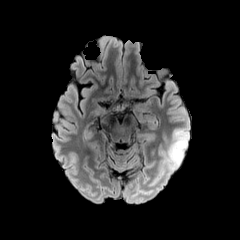
FLAIR MR image.
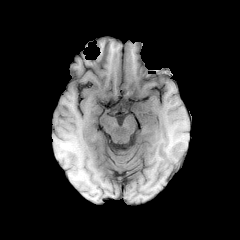
Same slice, T1-weighted MR.
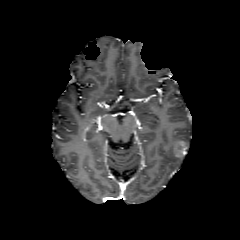
Post-contrast T1-weighted MRI of the same slice.
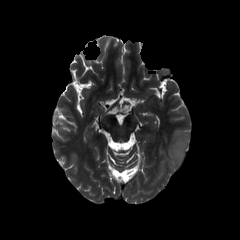
T2-weighted magnetic resonance.
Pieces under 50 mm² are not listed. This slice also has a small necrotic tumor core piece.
<segmentation>
  <enhancing_tumor><box>173,141,186,157</box></enhancing_tumor>
  <peritumoral_edema><box>160,128,189,174</box></peritumoral_edema>
</segmentation>